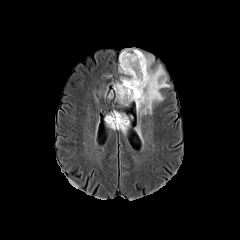
FLAIR magnetic resonance.
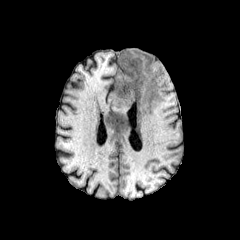
T1-weighted MRI.
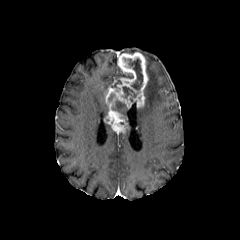
Post-contrast T1-weighted MR image.
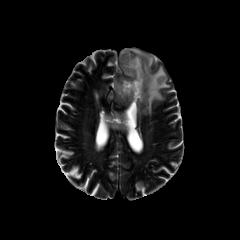
T2-weighted magnetic resonance.
Brain | 240x240 px
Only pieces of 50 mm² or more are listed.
* peritumoral edema: [108, 93, 125, 106], [121, 48, 170, 117]
* necrotic tumor core: [128, 58, 142, 90], [123, 86, 136, 97]
* enhancing tumor: [111, 52, 148, 108], [104, 111, 129, 133]